Axial slice; Image size 240x240; Head
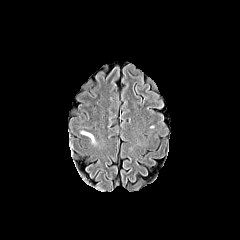
FLAIR magnetic resonance.
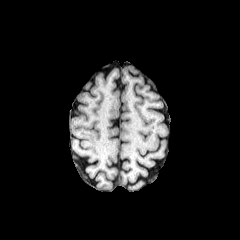
T1-weighted MR.
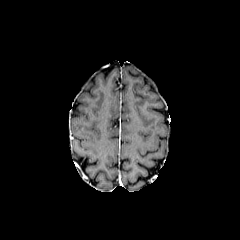
Post-contrast T1-weighted magnetic resonance.
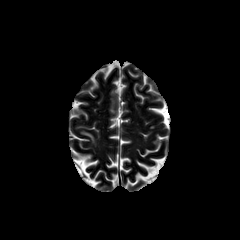
T2-weighted MR.
<segmentation>
  <peritumoral_edema>{"x1": 81, "y1": 131, "x2": 95, "y2": 143}</peritumoral_edema>
</segmentation>